Image width 240 mm, 240x240 px
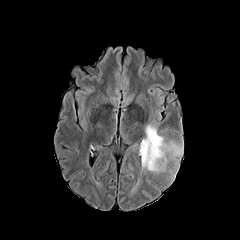
FLAIR MR.
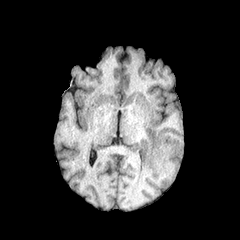
Same slice, T1-weighted MRI.
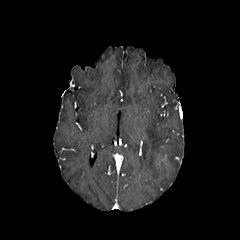
Post-contrast T1-weighted MR.
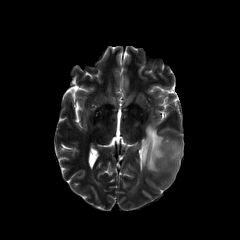
Same slice, T2-weighted MR image.
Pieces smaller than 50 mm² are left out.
The largest peritumoral edema region is at (141, 124, 182, 171).